FLAIR MR.
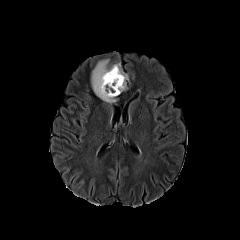
T1-weighted MR image.
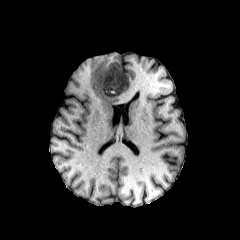
Post-contrast T1-weighted MRI.
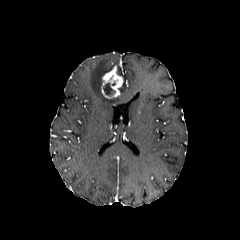
T2-weighted MR image.
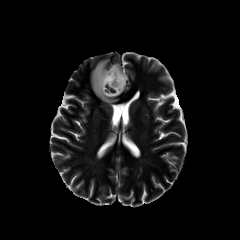
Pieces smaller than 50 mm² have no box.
peritumoral edema: 91, 59, 128, 103 | necrotic tumor core: 103, 83, 115, 95 | enhancing tumor: 101, 65, 123, 98